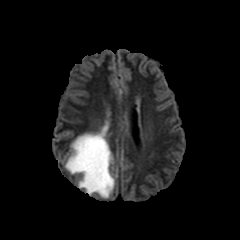
FLAIR MR image.
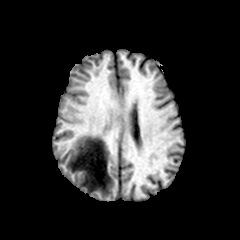
T1-weighted MR.
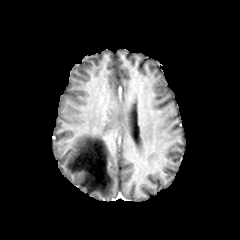
Post-contrast T1-weighted magnetic resonance of the same slice.
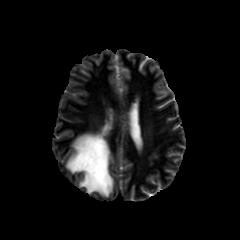
T2-weighted magnetic resonance.
Image size 240x240
The peritumoral edema is bounded by l=65, t=121, r=114, b=197.